Brain | Axial plane | 240x240 | Slice 132 of 155
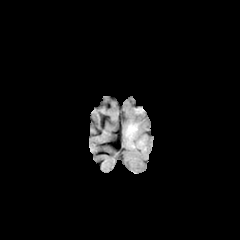
FLAIR MR image.
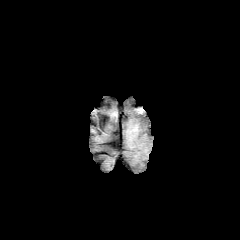
T1-weighted MR image.
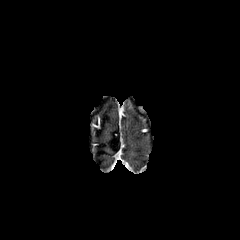
Same slice, post-contrast T1-weighted MRI.
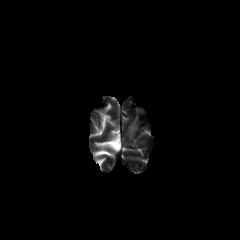
Same slice, T2-weighted MR.
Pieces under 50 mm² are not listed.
The largest peritumoral edema region is located at (126, 123, 137, 140).